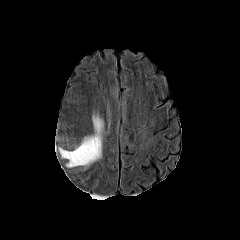
FLAIR MR.
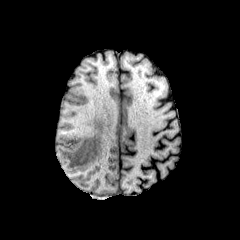
T1-weighted MRI.
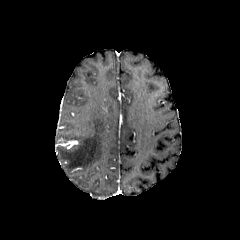
Post-contrast T1-weighted MR.
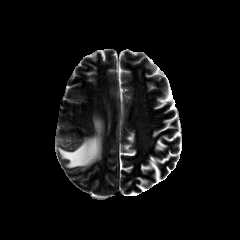
T2-weighted MR image.
Brain.
The peritumoral edema appears at x1=58, y1=116, x2=103, y2=167.